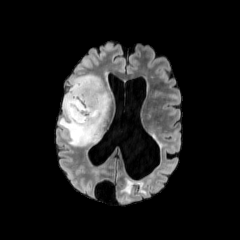
FLAIR MR.
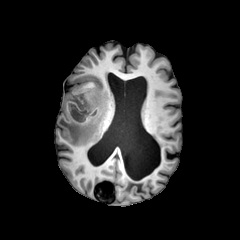
Same slice, T1-weighted MRI.
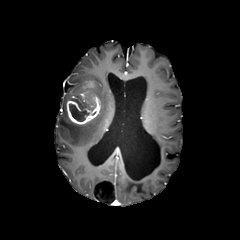
Same slice, post-contrast T1-weighted MRI.
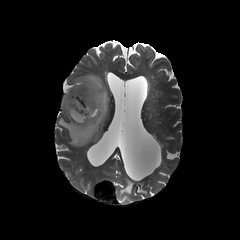
T2-weighted MRI.
Brain, Axial view
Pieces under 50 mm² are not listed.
peritumoral_edema:
  - x1=58 y1=75 x2=110 y2=146
necrotic_tumor_core:
  - x1=69 y1=95 x2=95 y2=121
enhancing_tumor:
  - x1=66 y1=92 x2=100 y2=124